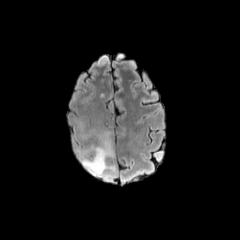
FLAIR magnetic resonance.
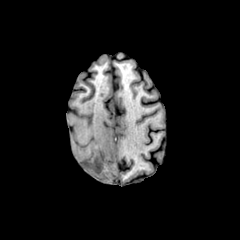
T1-weighted MR image.
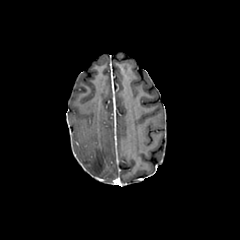
Post-contrast T1-weighted MR of the same slice.
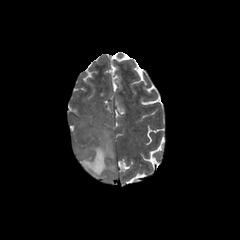
T2-weighted MR.
Axial view, Head, Image size 240x240
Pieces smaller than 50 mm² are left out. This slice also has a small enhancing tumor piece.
peritumoral edema at bbox=[77, 130, 116, 180]